Image size 240x240
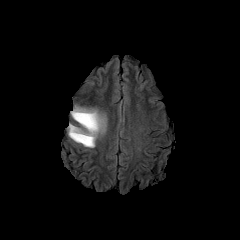
FLAIR MR.
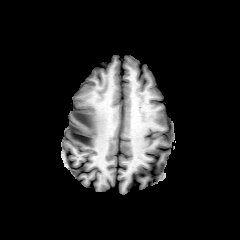
Same slice, T1-weighted magnetic resonance.
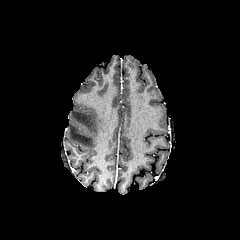
Post-contrast T1-weighted MRI of the same slice.
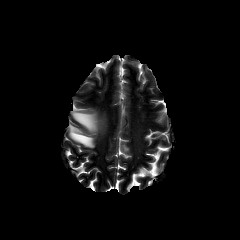
T2-weighted MR image.
• peritumoral edema: 69,109,105,147